Axial view. Image covers 240 mm x 240 mm.
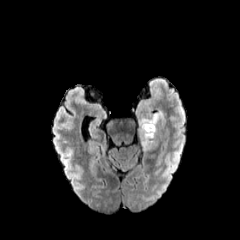
FLAIR MR image.
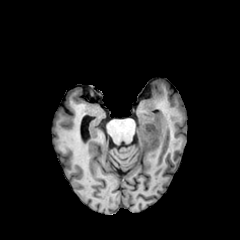
T1-weighted magnetic resonance.
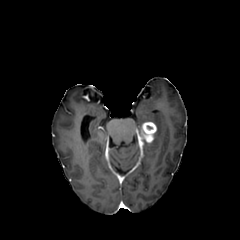
Same slice, post-contrast T1-weighted MRI.
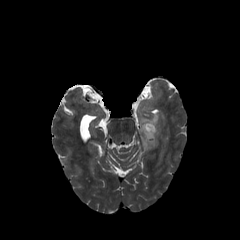
T2-weighted MR of the same slice.
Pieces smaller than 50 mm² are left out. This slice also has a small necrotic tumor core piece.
peritumoral edema: bounding box l=138, t=113, r=163, b=150
enhancing tumor: bounding box l=138, t=122, r=156, b=146